Brain | Axial plane
FLAIR magnetic resonance.
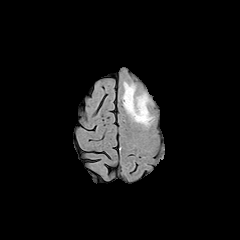
T1-weighted magnetic resonance.
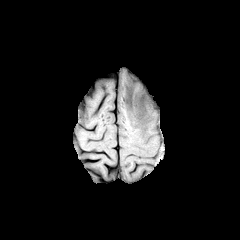
Post-contrast T1-weighted magnetic resonance.
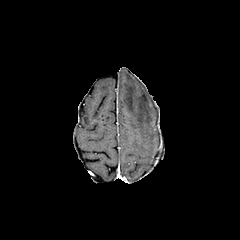
T2-weighted MR.
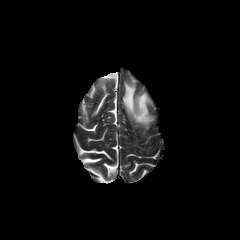
The peritumoral edema is at left=123, top=82, right=152, bottom=126.